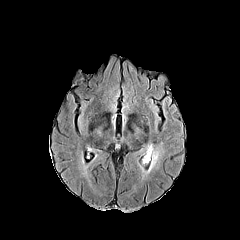
FLAIR MRI.
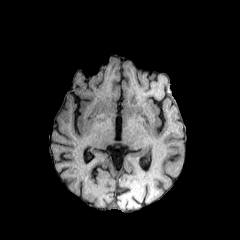
T1-weighted MR image.
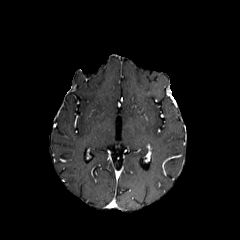
Post-contrast T1-weighted MR of the same slice.
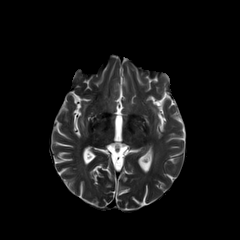
T2-weighted MRI.
Head; Axial slice
The peritumoral edema appears at (149, 153, 157, 170).